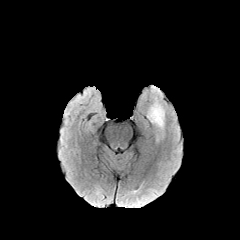
FLAIR MR image.
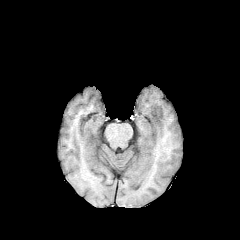
T1-weighted MR.
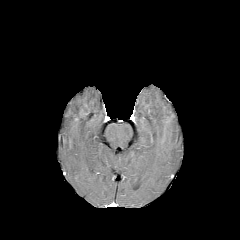
Post-contrast T1-weighted MR.
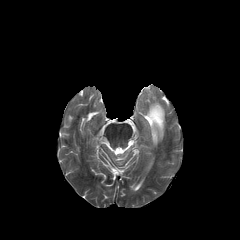
T2-weighted MR image.
Head, Axial slice
The peritumoral edema appears at (147, 103, 164, 129).